FLAIR MR.
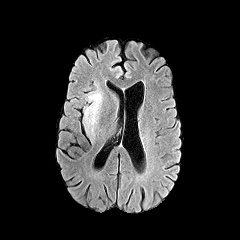
T1-weighted MR.
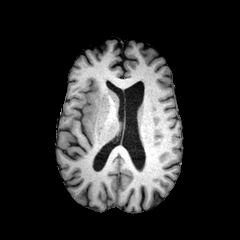
Post-contrast T1-weighted MR.
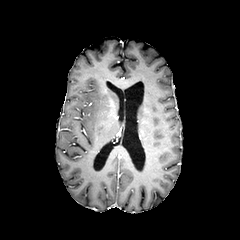
T2-weighted magnetic resonance.
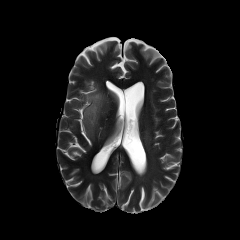
Head. 240x240 px.
{
  "peritumoral_edema": [
    "<bbox>85, 90, 102, 131</bbox>"
  ]
}